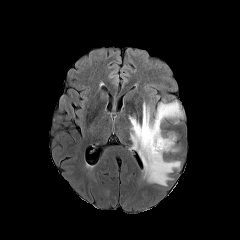
FLAIR MRI.
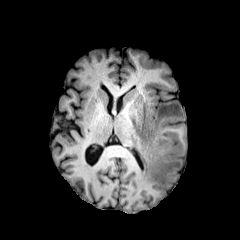
Same slice, T1-weighted MR image.
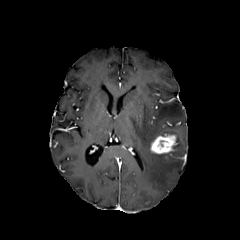
Same slice, post-contrast T1-weighted MR.
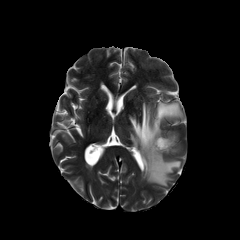
T2-weighted MRI of the same slice.
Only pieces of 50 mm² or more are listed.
Findings:
• enhancing tumor: x1=150, y1=134, x2=176, y2=154
• peritumoral edema: x1=129, y1=101, x2=183, y2=186